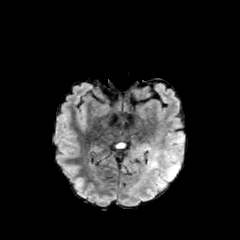
FLAIR magnetic resonance.
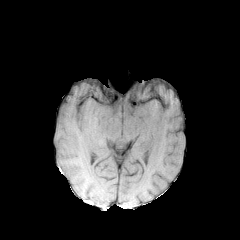
T1-weighted MR image.
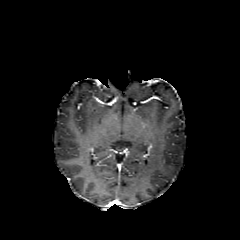
Post-contrast T1-weighted magnetic resonance of the same slice.
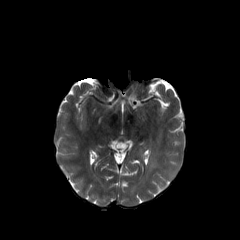
T2-weighted MRI.
Axial slice
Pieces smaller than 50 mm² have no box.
peritumoral edema: (148,127,186,195)